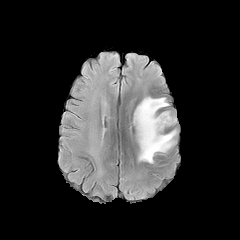
FLAIR MR image.
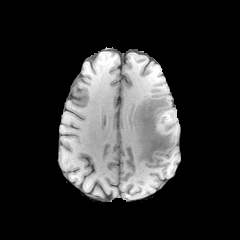
Same slice, T1-weighted MR image.
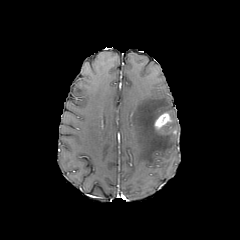
Post-contrast T1-weighted MRI of the same slice.
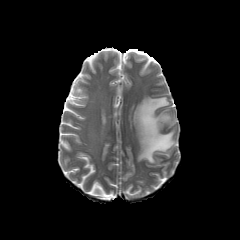
T2-weighted MR.
Axial view. 240x240.
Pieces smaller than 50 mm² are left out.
peritumoral edema: bounding box (133,97,176,163)
enhancing tumor: bounding box (154,113,171,129)